Image covers 240 mm x 240 mm, Brain
FLAIR magnetic resonance.
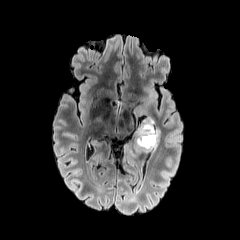
T1-weighted MRI.
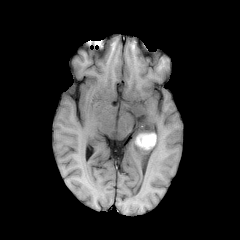
Post-contrast T1-weighted MR image.
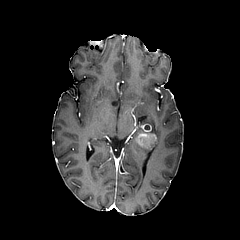
T2-weighted MRI.
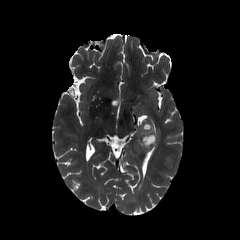
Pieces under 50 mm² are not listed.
- peritumoral edema: <bbox>137, 117, 159, 150</bbox>
- necrotic tumor core: <bbox>140, 137, 152, 145</bbox>
- enhancing tumor: <bbox>137, 124, 156, 148</bbox>